FLAIR magnetic resonance.
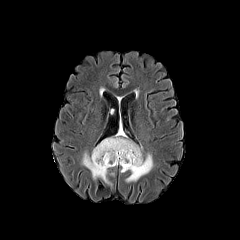
T1-weighted MR image.
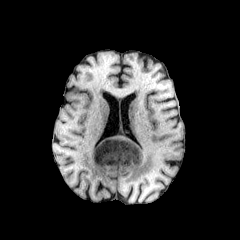
Post-contrast T1-weighted MR.
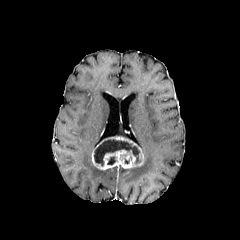
T2-weighted MR.
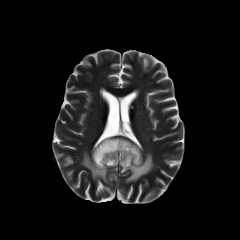
Axial view
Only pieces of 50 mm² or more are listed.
{
  "necrotic_tumor_core": [
    "x1=107 y1=157 x2=115 y2=164",
    "x1=94 y1=139 x2=139 y2=165"
  ],
  "enhancing_tumor": [
    "x1=91 y1=136 x2=144 y2=169"
  ],
  "peritumoral_edema": [
    "x1=82 y1=152 x2=111 y2=185",
    "x1=120 y1=153 x2=153 y2=182"
  ]
}